FLAIR MR image.
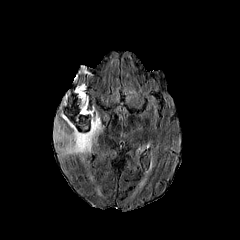
T1-weighted MR image.
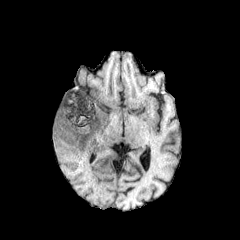
Post-contrast T1-weighted MRI.
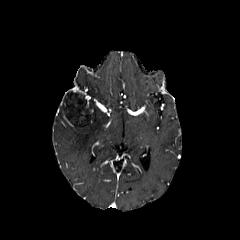
T2-weighted magnetic resonance.
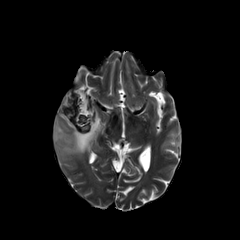
240x240, Axial plane
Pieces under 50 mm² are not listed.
Findings:
* necrotic tumor core: <bbox>62, 90, 91, 132</bbox>
* enhancing tumor: <bbox>72, 87, 88, 107</bbox>
* peritumoral edema: <bbox>53, 111, 102, 157</bbox>